Brain; Slice 119/155
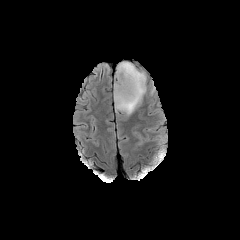
FLAIR MR image.
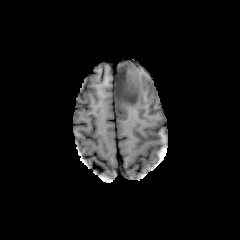
T1-weighted MR.
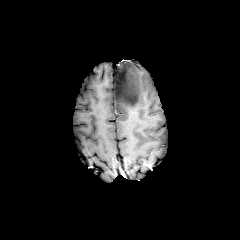
Post-contrast T1-weighted magnetic resonance.
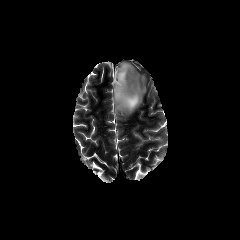
T2-weighted magnetic resonance.
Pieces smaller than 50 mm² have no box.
* peritumoral edema: 114 61 146 120
* necrotic tumor core: 114 63 138 106